FLAIR magnetic resonance.
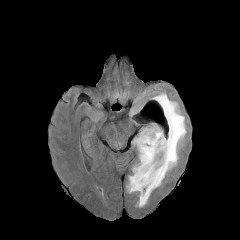
T1-weighted MR image.
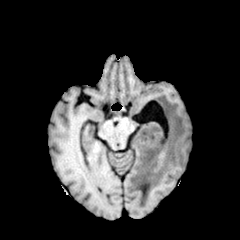
Post-contrast T1-weighted MR image.
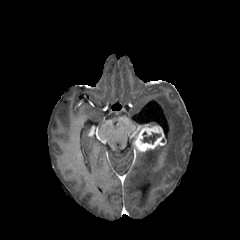
T2-weighted magnetic resonance.
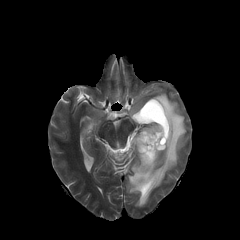
Head.
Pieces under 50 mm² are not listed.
{
  "enhancing_tumor": [
    "[x1=133, y1=125, x2=166, y2=152]"
  ],
  "peritumoral_edema": [
    "[x1=127, y1=93, x2=186, y2=207]"
  ],
  "necrotic_tumor_core": [
    "[x1=142, y1=132, x2=161, y2=144]"
  ]
}